FLAIR magnetic resonance.
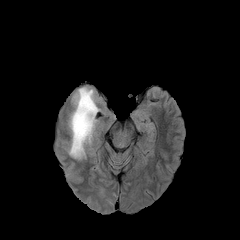
T1-weighted MRI.
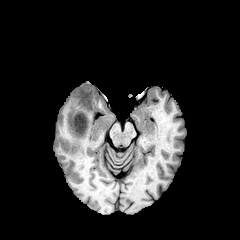
Post-contrast T1-weighted MRI.
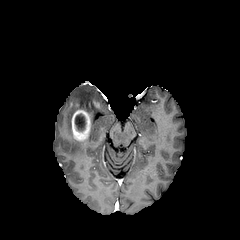
T2-weighted MRI.
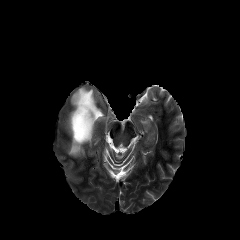
Annotated regions:
* enhancing tumor: (71, 109, 91, 142)
* necrotic tumor core: (75, 114, 85, 130)
* peritumoral edema: (69, 87, 98, 158)